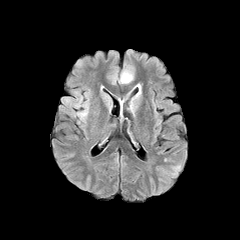
FLAIR MR image.
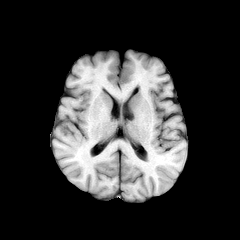
T1-weighted magnetic resonance.
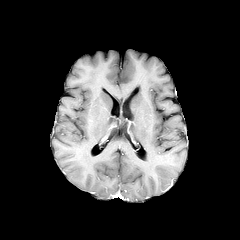
Post-contrast T1-weighted MR.
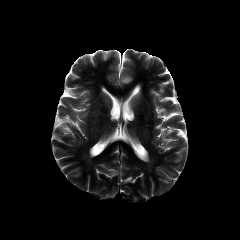
T2-weighted MR.
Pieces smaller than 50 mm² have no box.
The largest peritumoral edema region is bounded by x1=120, y1=71, x2=132, y2=83.